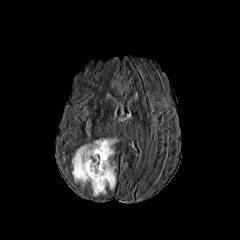
FLAIR MR image.
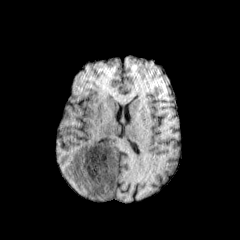
Same slice, T1-weighted magnetic resonance.
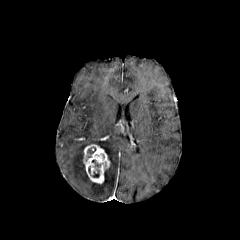
Same slice, post-contrast T1-weighted MR image.
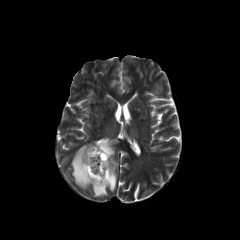
T2-weighted MR of the same slice.
Axial slice, Head
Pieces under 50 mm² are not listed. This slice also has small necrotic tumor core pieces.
{
  "peritumoral_edema": [
    "region(72, 144, 115, 196)",
    "region(93, 139, 116, 159)"
  ],
  "enhancing_tumor": [
    "region(83, 144, 110, 183)"
  ]
}